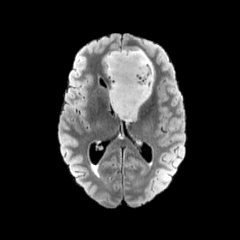
FLAIR magnetic resonance.
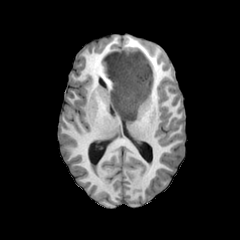
T1-weighted MRI.
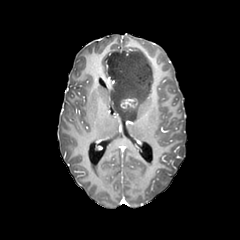
Post-contrast T1-weighted magnetic resonance.
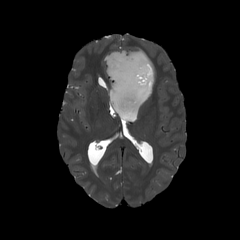
Same slice, T2-weighted MR.
enhancing_tumor:
  - rect(120, 98, 138, 108)
peritumoral_edema:
  - rect(104, 48, 153, 121)